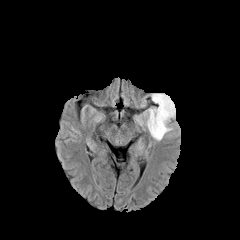
FLAIR magnetic resonance.
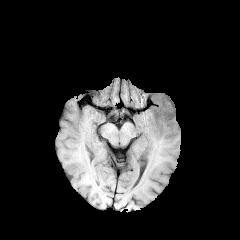
T1-weighted magnetic resonance.
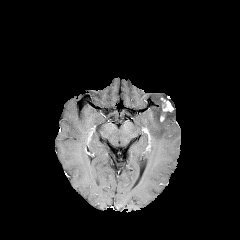
Post-contrast T1-weighted MR image.
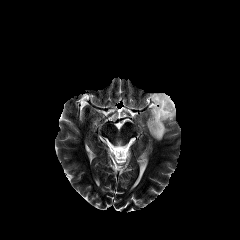
T2-weighted MRI of the same slice.
Brain
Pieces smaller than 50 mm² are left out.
enhancing tumor: x1=161, y1=98, x2=173, y2=111 | peritumoral edema: x1=136, y1=93, x2=175, y2=140